Image width 240 mm, Image size 240x240, Head, Slice 77 of 155
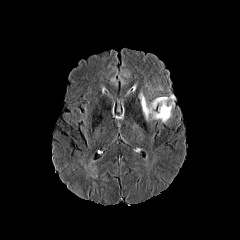
FLAIR magnetic resonance.
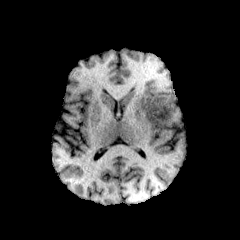
T1-weighted MRI.
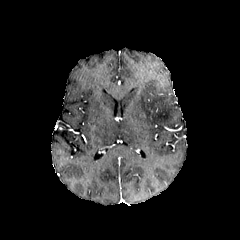
Post-contrast T1-weighted MR.
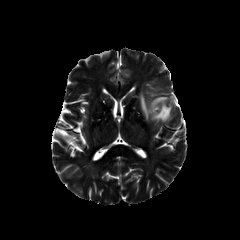
T2-weighted MRI.
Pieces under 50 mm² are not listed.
Findings:
* peritumoral edema: x1=139 y1=92 x2=175 y2=122